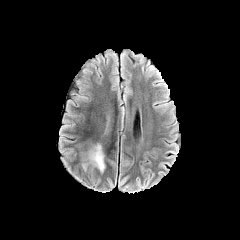
FLAIR MRI.
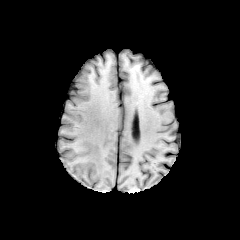
T1-weighted MRI.
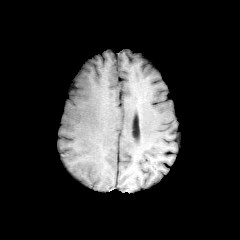
Same slice, post-contrast T1-weighted magnetic resonance.
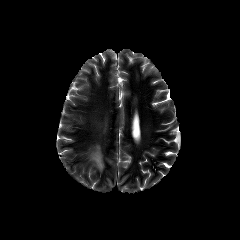
T2-weighted MR image.
Axial slice; 240x240 px
<segmentation>
  <peritumoral_edema>box(76, 139, 107, 173)</peritumoral_edema>
</segmentation>